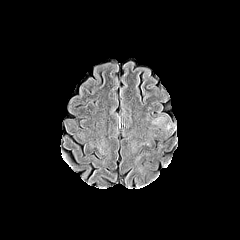
FLAIR MRI.
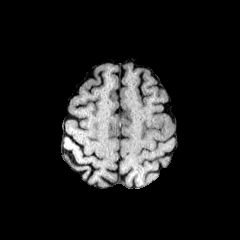
Same slice, T1-weighted MR.
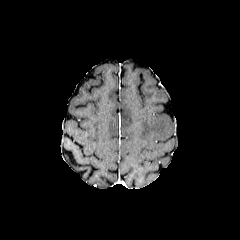
Post-contrast T1-weighted magnetic resonance of the same slice.
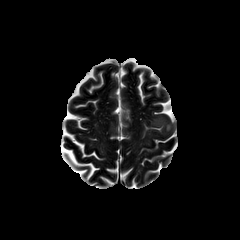
Same slice, T2-weighted MRI.
Head
Segmented structures:
* peritumoral edema: region(152, 116, 166, 125); region(167, 122, 175, 130)